FLAIR MR image.
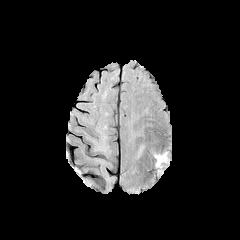
T1-weighted MRI.
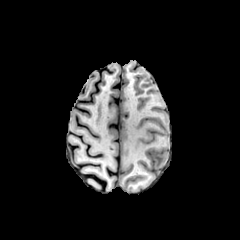
Post-contrast T1-weighted MRI.
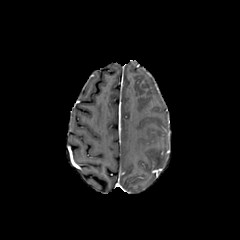
T2-weighted MRI.
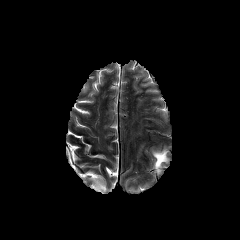
240x240 px | Head | Axial plane
<segmentation>
  <peritumoral_edema>[x1=153, y1=153, x2=167, y2=167]</peritumoral_edema>
</segmentation>